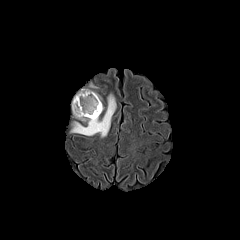
FLAIR MR image.
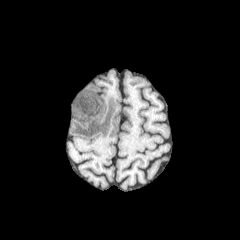
T1-weighted MRI.
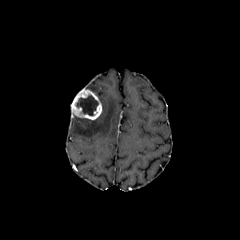
Post-contrast T1-weighted MR.
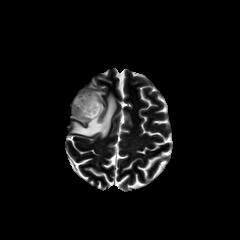
T2-weighted MRI.
Head | 240x240
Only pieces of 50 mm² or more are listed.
enhancing tumor: bounding box {"x1": 71, "y1": 89, "x2": 102, "y2": 120}
peritumoral edema: bounding box {"x1": 71, "y1": 94, "x2": 116, "y2": 137}
necrotic tumor core: bounding box {"x1": 76, "y1": 95, "x2": 98, "y2": 115}